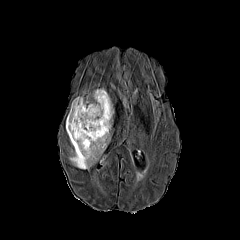
FLAIR MR image.
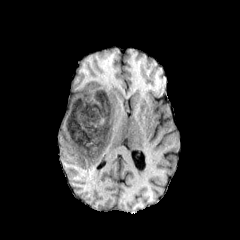
Same slice, T1-weighted MR image.
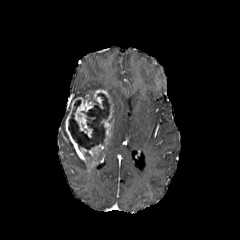
Post-contrast T1-weighted magnetic resonance.
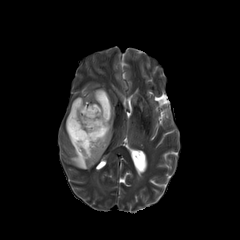
T2-weighted MR image.
240x240.
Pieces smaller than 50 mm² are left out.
Segmented structures:
* necrotic tumor core: box=[68, 93, 110, 149]
* peritumoral edema: box=[70, 153, 89, 169]
* enhancing tumor: box=[65, 89, 113, 167]